FLAIR magnetic resonance.
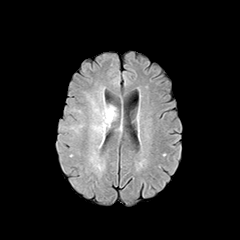
T1-weighted MR image.
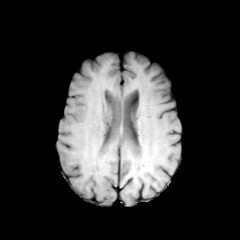
Post-contrast T1-weighted MRI.
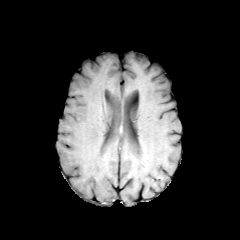
T2-weighted MRI.
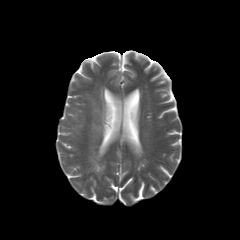
Head; Image size 240x240; Axial plane
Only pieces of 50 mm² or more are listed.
peritumoral_edema:
  - rect(93, 104, 112, 143)